FLAIR MR image.
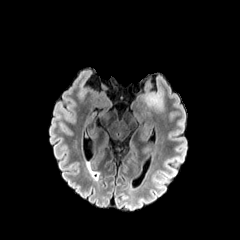
T1-weighted magnetic resonance.
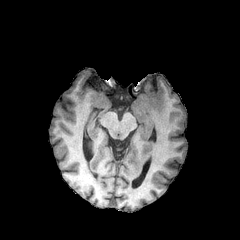
Post-contrast T1-weighted MRI.
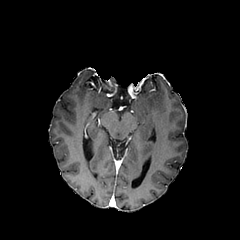
T2-weighted MRI.
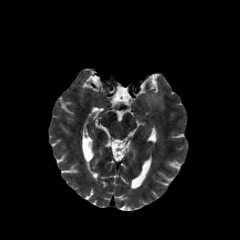
Brain | Axial plane
peritumoral edema = 144,93,163,110